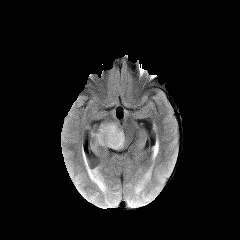
FLAIR MR.
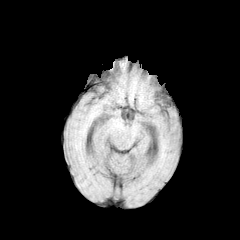
Same slice, T1-weighted MRI.
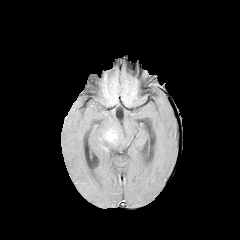
Post-contrast T1-weighted magnetic resonance of the same slice.
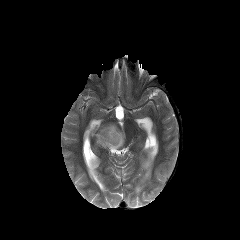
T2-weighted MR.
Brain | Axial plane
enhancing tumor — (103,129,117,143)
peritumoral edema — (93,123,124,149)